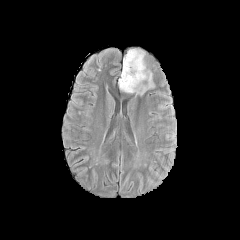
FLAIR MR image.
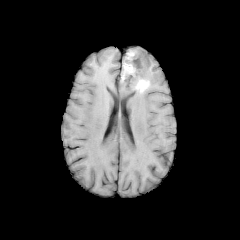
T1-weighted magnetic resonance of the same slice.
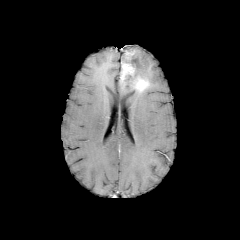
Post-contrast T1-weighted magnetic resonance.
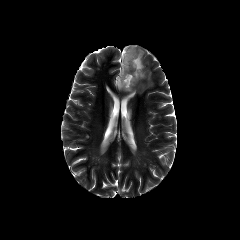
Same slice, T2-weighted MR.
Axial plane
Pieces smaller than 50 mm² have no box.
{"peritumoral_edema": ["[x1=119, y1=83, x2=144, y2=93]", "[x1=128, y1=48, x2=152, y2=87]"], "necrotic_tumor_core": ["[x1=123, y1=54, x2=145, y2=82]"], "enhancing_tumor": ["[x1=120, y1=63, x2=148, y2=91]"]}